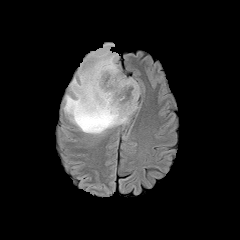
FLAIR MR.
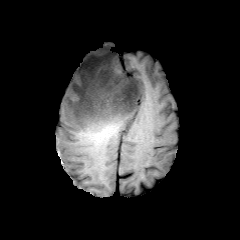
T1-weighted magnetic resonance.
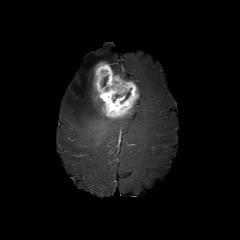
Post-contrast T1-weighted MR image of the same slice.
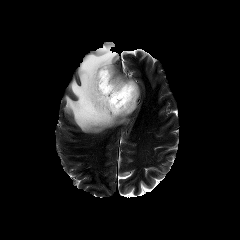
T2-weighted MR image.
Axial slice
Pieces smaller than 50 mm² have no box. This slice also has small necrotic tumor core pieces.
The largest peritumoral edema region is at <bbox>64, 43, 129, 133</bbox>. The enhancing tumor lies within <bbox>92, 61, 139, 119</bbox>.